FLAIR MR image.
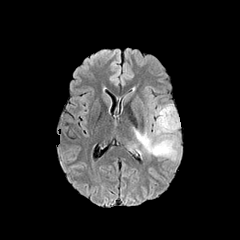
T1-weighted MR image.
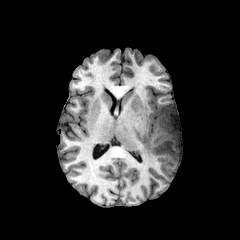
Post-contrast T1-weighted MR image.
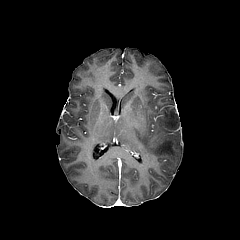
T2-weighted magnetic resonance.
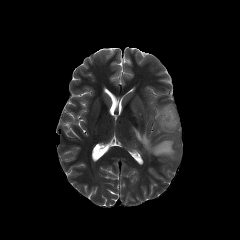
Axial slice. Head.
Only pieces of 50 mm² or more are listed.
peritumoral_edema:
  - x1=129, y1=143, x2=142, y2=154
  - x1=132, y1=104, x2=179, y2=160